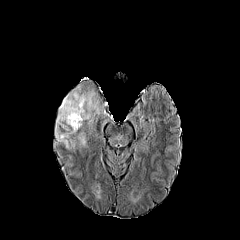
FLAIR magnetic resonance.
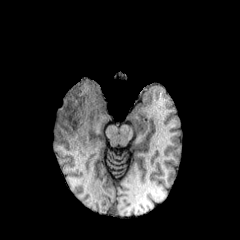
T1-weighted magnetic resonance of the same slice.
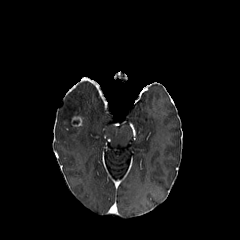
Post-contrast T1-weighted MRI of the same slice.
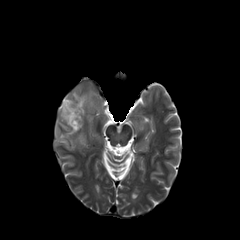
T2-weighted MR image.
Head, 240x240, Axial view
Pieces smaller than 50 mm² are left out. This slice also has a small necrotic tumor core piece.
peritumoral edema = 55:85:108:150
enhancing tumor = 71:116:82:126